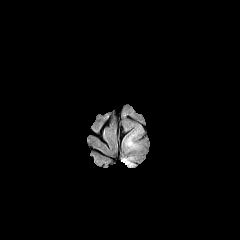
FLAIR MRI.
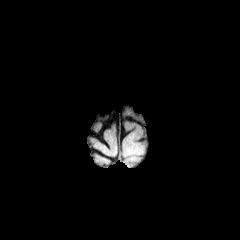
T1-weighted magnetic resonance.
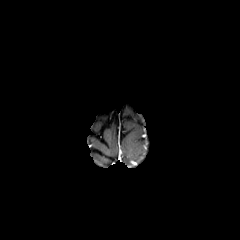
Post-contrast T1-weighted magnetic resonance.
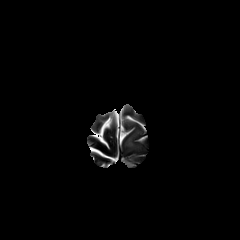
T2-weighted MR image of the same slice.
240x240 px. Axial slice.
peritumoral edema at (124, 126, 141, 150)